Slice index 53, Axial plane, 240x240
FLAIR MR.
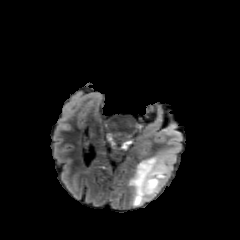
T1-weighted magnetic resonance.
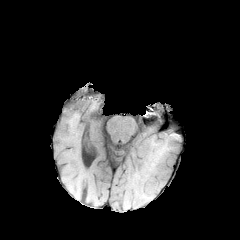
Post-contrast T1-weighted MR image.
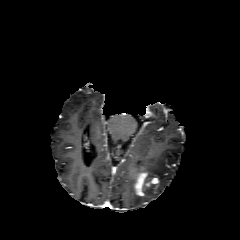
T2-weighted MR.
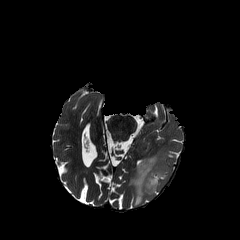
peritumoral edema at (129, 153, 168, 205)
enhancing tumor at (135, 172, 158, 195)